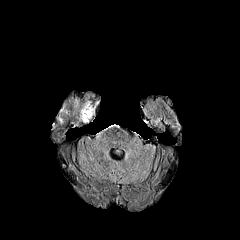
FLAIR magnetic resonance.
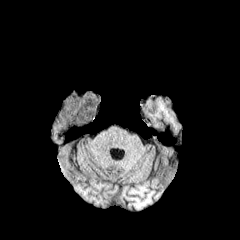
T1-weighted MR.
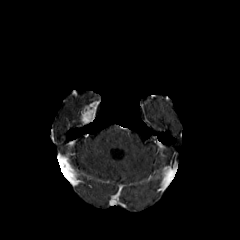
Post-contrast T1-weighted MR.
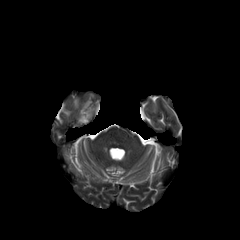
T2-weighted MR image.
Axial slice; 240x240
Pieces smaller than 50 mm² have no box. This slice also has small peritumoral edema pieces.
enhancing tumor: (80,101,98,123)